240x240 px
FLAIR MR.
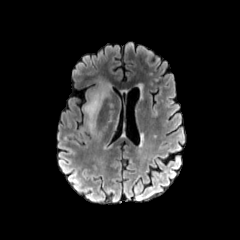
T1-weighted MR.
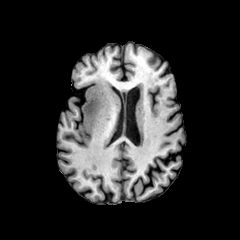
Post-contrast T1-weighted MR image.
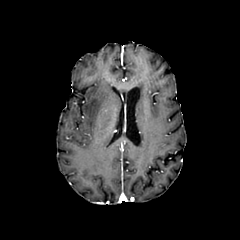
T2-weighted MR image.
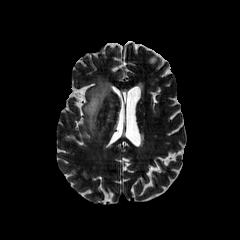
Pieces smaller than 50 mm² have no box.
peritumoral edema: left=83, top=79, right=111, bottom=133